Slice index 81 | Image width 240 mm, 1.00 mm slice spacing
FLAIR MRI.
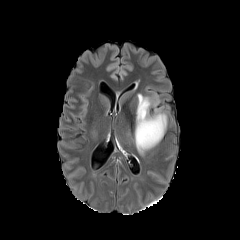
T1-weighted MR.
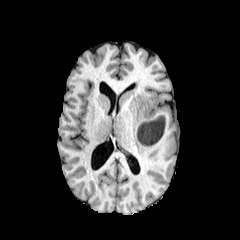
Post-contrast T1-weighted MRI.
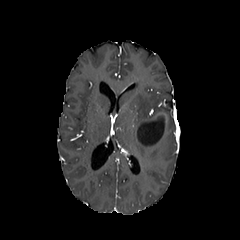
T2-weighted MR.
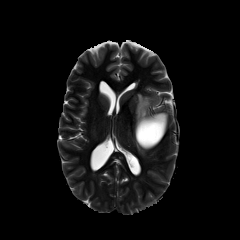
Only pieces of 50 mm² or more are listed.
The largest peritumoral edema region appears at (x1=135, y1=94, x2=166, y2=154).